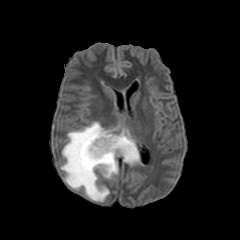
FLAIR MR image.
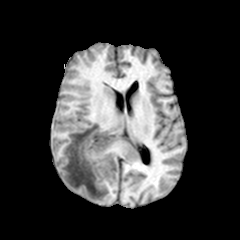
T1-weighted MR image.
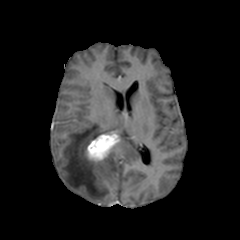
Post-contrast T1-weighted MRI of the same slice.
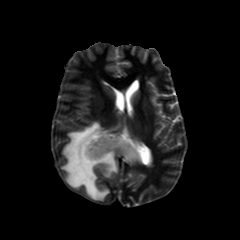
Same slice, T2-weighted MR.
Brain
The peritumoral edema lies within {"x1": 60, "y1": 121, "x2": 139, "y2": 201}. The enhancing tumor is located at {"x1": 85, "y1": 132, "x2": 120, "y2": 162}.